FLAIR MR.
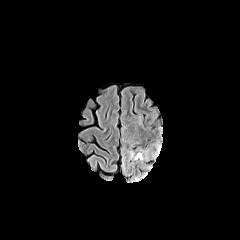
T1-weighted magnetic resonance.
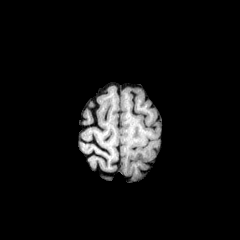
Post-contrast T1-weighted magnetic resonance.
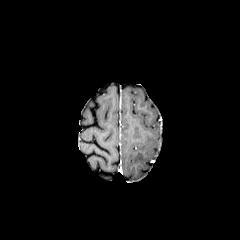
T2-weighted MRI.
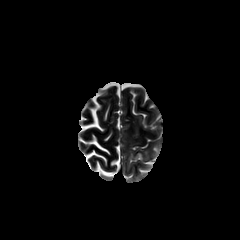
Brain
The peritumoral edema is located at x1=120, y1=142, x2=161, y2=181.